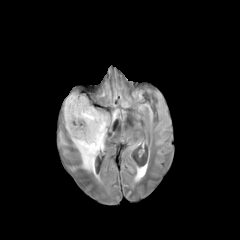
FLAIR MR image.
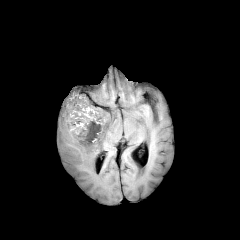
T1-weighted MR of the same slice.
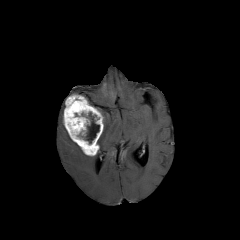
Post-contrast T1-weighted magnetic resonance of the same slice.
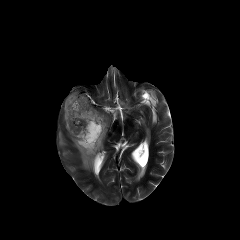
Same slice, T2-weighted MRI.
Axial view
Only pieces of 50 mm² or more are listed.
peritumoral edema: {"x1": 73, "y1": 113, "x2": 109, "y2": 173}
necrotic tumor core: {"x1": 85, "y1": 112, "x2": 99, "y2": 143}
enhancing tumor: {"x1": 63, "y1": 93, "x2": 103, "y2": 156}